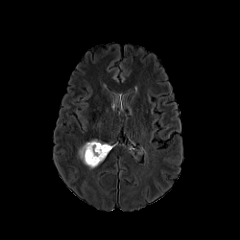
FLAIR magnetic resonance.
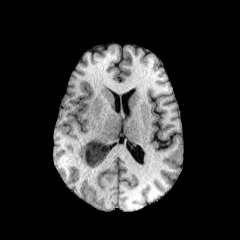
T1-weighted MRI.
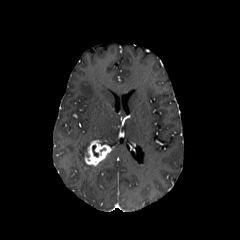
Post-contrast T1-weighted MR of the same slice.
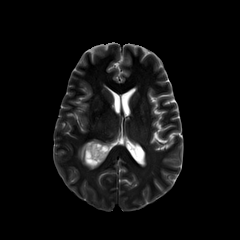
T2-weighted MRI.
Axial view
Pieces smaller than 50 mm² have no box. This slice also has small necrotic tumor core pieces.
<segmentation>
  <enhancing_tumor>x1=85, y1=140, x2=111, y2=166</enhancing_tumor>
  <peritumoral_edema>x1=78, y1=141, x2=95, y2=169</peritumoral_edema>
</segmentation>